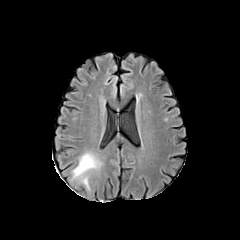
FLAIR MRI.
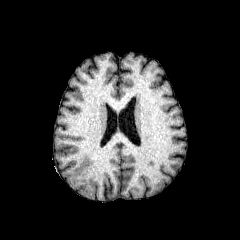
T1-weighted MRI.
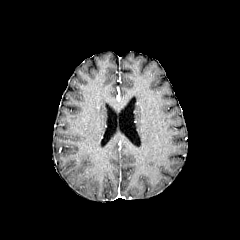
Post-contrast T1-weighted MR.
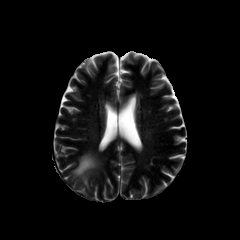
T2-weighted MR image.
Axial view.
peritumoral edema — (72,152,101,183)